FLAIR MRI.
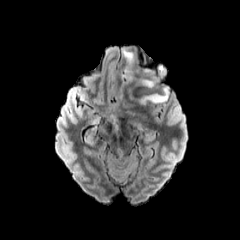
T1-weighted MR.
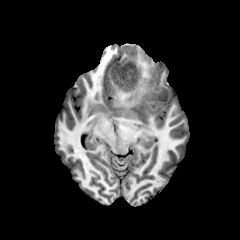
Post-contrast T1-weighted MRI.
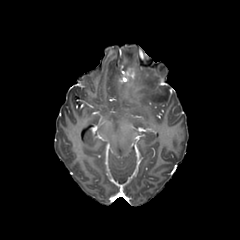
T2-weighted MR image.
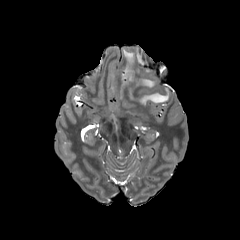
Head | Axial plane | 240x240
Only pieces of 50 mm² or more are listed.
enhancing tumor: (116, 64, 136, 88)
peritumoral edema: (122, 48, 134, 65), (142, 80, 155, 87), (111, 68, 119, 80), (140, 88, 168, 104)